Brain. Axial view.
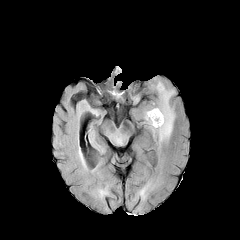
FLAIR MRI.
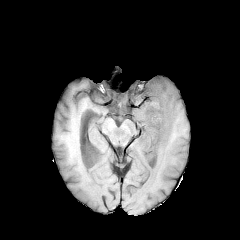
Same slice, T1-weighted MR image.
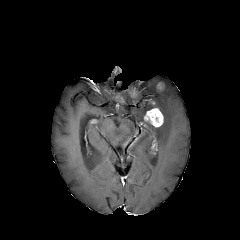
Post-contrast T1-weighted MR.
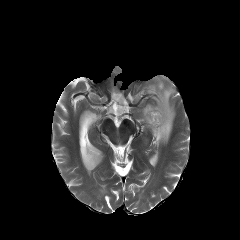
T2-weighted MR image.
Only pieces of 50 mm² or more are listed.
{"enhancing_tumor": ["(left=115, top=93, right=124, bottom=102)", "(left=144, top=108, right=163, bottom=127)"], "peritumoral_edema": ["(left=143, top=79, right=174, bottom=144)"]}